FLAIR magnetic resonance.
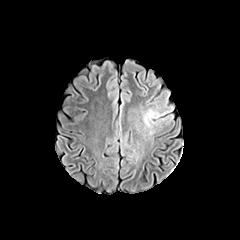
T1-weighted MR image.
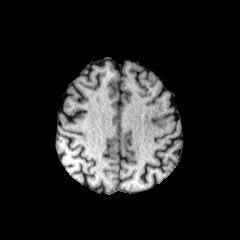
Post-contrast T1-weighted magnetic resonance.
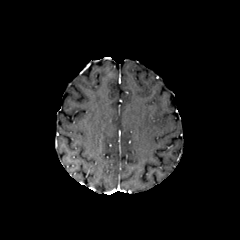
T2-weighted MR.
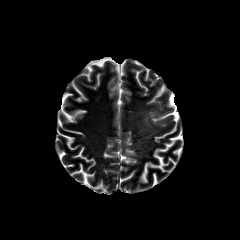
240x240. Head. Axial slice.
Segmented structures:
- peritumoral edema: x1=142, y1=109, x2=161, y2=126